FLAIR MRI.
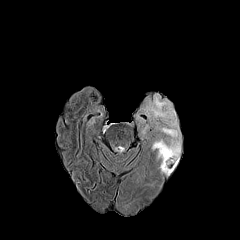
T1-weighted MRI.
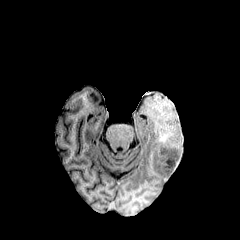
Post-contrast T1-weighted MRI.
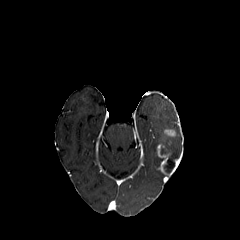
T2-weighted MR image.
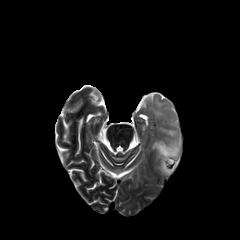
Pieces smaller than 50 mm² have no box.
<segmentation>
  <peritumoral_edema>147, 96, 181, 157</peritumoral_edema>
  <necrotic_tumor_core>161, 148, 178, 173</necrotic_tumor_core>
  <enhancing_tumor>157, 144, 179, 175; 164, 129, 176, 136</enhancing_tumor>
</segmentation>